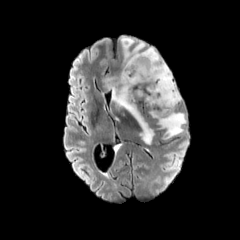
FLAIR MRI.
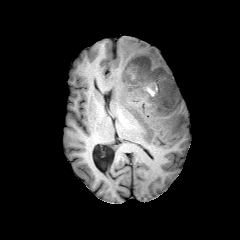
T1-weighted magnetic resonance.
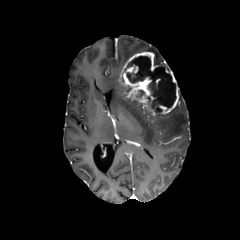
Post-contrast T1-weighted MRI.
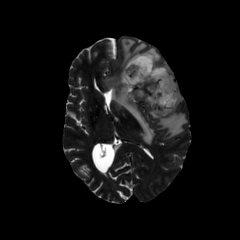
T2-weighted magnetic resonance of the same slice.
Brain
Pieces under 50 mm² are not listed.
peritumoral edema: box=[102, 71, 154, 144]; box=[151, 104, 186, 139]; box=[120, 36, 163, 70] | necrotic tumor core: box=[126, 56, 176, 114] | enhancing tumor: box=[119, 51, 179, 116]